FLAIR MR image.
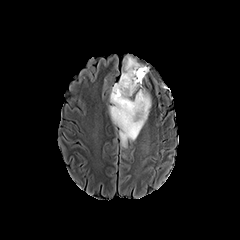
T1-weighted MR image.
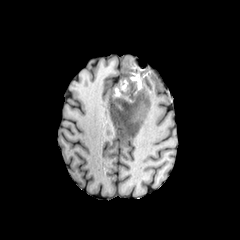
Post-contrast T1-weighted MR.
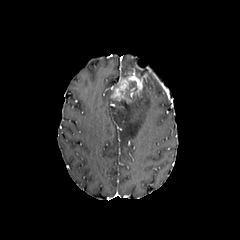
T2-weighted MRI.
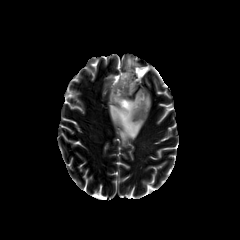
Axial view, Head
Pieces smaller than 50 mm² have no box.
enhancing tumor: 111, 68, 146, 103 | peritumoral edema: 122, 55, 151, 76; 108, 87, 151, 148 | necrotic tumor core: 126, 81, 137, 95; 136, 68, 144, 78; 115, 100, 130, 113